Axial plane
FLAIR MR image.
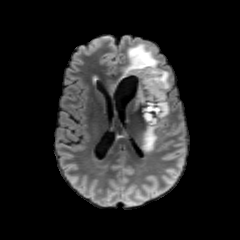
T1-weighted MR image.
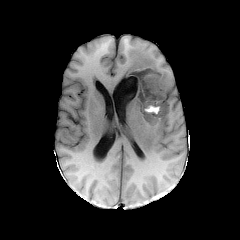
Post-contrast T1-weighted MR image.
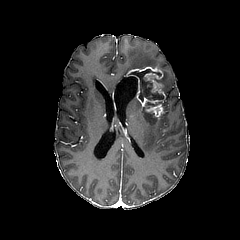
T2-weighted MR image.
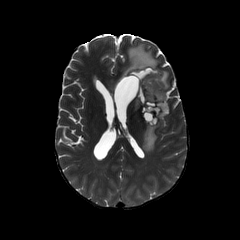
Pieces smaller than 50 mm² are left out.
Annotated regions:
- peritumoral edema: x1=160 y1=100 x2=169 y2=117, x1=120 y1=43 x2=158 y2=80, x1=142 y1=123 x2=162 y2=152, x1=161 y1=69 x2=169 y2=90
- enhancing tumor: x1=125 y1=66 x2=165 y2=118
- necrotic tumor core: x1=143 y1=112 x2=156 y2=125, x1=129 y1=69 x2=163 y2=101